Image width 240 mm, 1.00 mm slice spacing, Image size 240x240
FLAIR magnetic resonance.
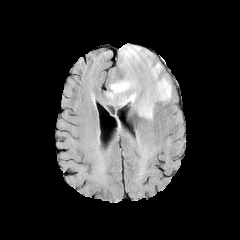
T1-weighted MR image.
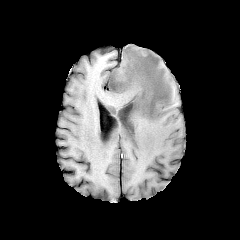
Post-contrast T1-weighted MR image.
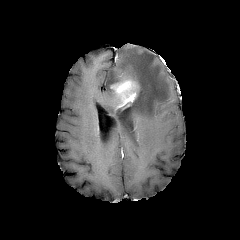
T2-weighted MR.
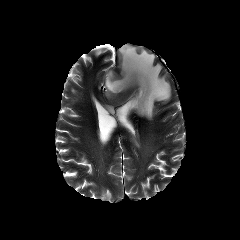
peritumoral edema — rect(105, 44, 172, 120)
enhancing tumor — rect(110, 76, 138, 107)